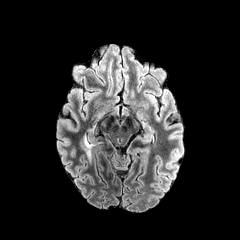
FLAIR MRI.
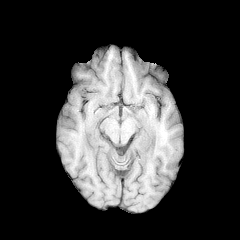
T1-weighted MR.
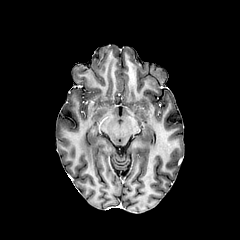
Post-contrast T1-weighted magnetic resonance.
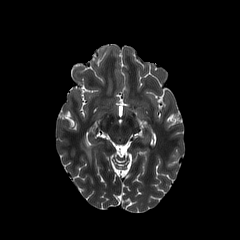
T2-weighted MR.
Axial view; Brain
Segmented structures:
- peritumoral edema: x1=80 y1=134 x2=102 y2=162